Image width 240 mm, Head
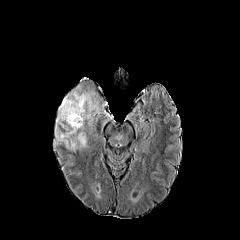
FLAIR MR.
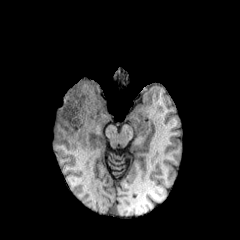
T1-weighted MR.
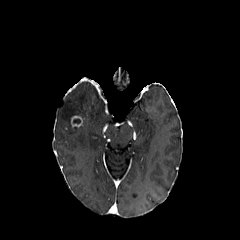
Same slice, post-contrast T1-weighted MR image.
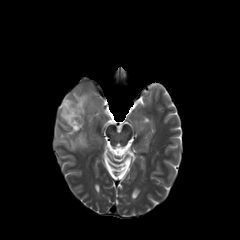
T2-weighted MR image.
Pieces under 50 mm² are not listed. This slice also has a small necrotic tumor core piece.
• peritumoral edema: <box>54,85,112,151</box>
• enhancing tumor: <box>71,116,82,127</box>